Slice 97/155.
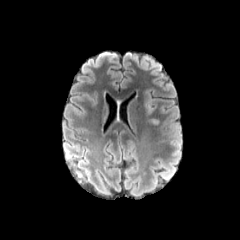
FLAIR MRI.
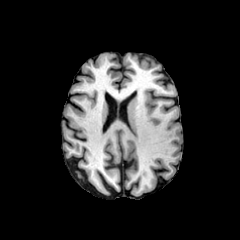
T1-weighted magnetic resonance.
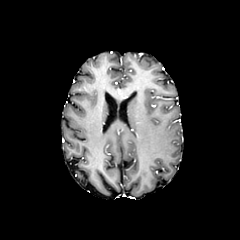
Post-contrast T1-weighted MR image of the same slice.
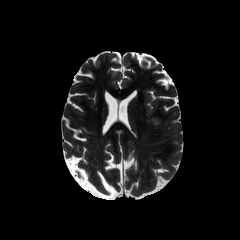
T2-weighted MR image of the same slice.
The peritumoral edema lies within <box>144,87,154,114</box>.